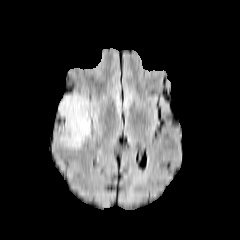
FLAIR MR.
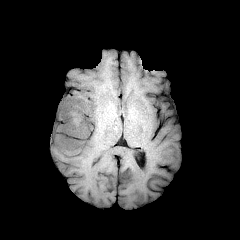
Same slice, T1-weighted MRI.
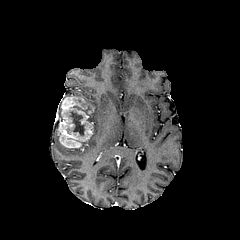
Post-contrast T1-weighted MR.
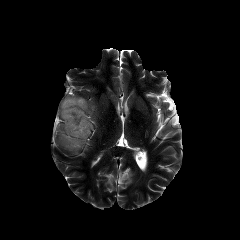
T2-weighted magnetic resonance of the same slice.
240x240; Axial slice; Brain
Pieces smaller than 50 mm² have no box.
The largest necrotic tumor core region lies within box(70, 111, 84, 135). The largest enhancing tumor region appears at box(58, 95, 92, 148). The largest peritumoral edema region appears at box(84, 98, 94, 111).